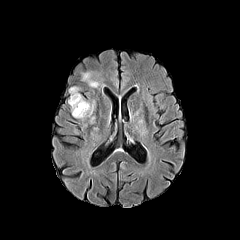
FLAIR MRI.
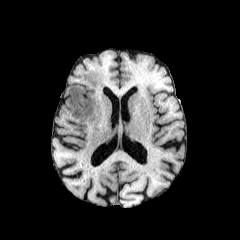
T1-weighted magnetic resonance.
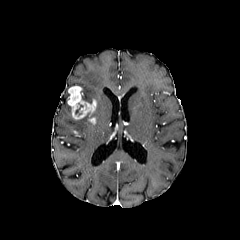
Post-contrast T1-weighted MR image.
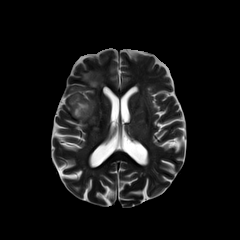
Same slice, T2-weighted MR.
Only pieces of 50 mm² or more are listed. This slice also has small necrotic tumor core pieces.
enhancing tumor: region(67, 86, 96, 124) | peritumoral edema: region(82, 72, 99, 87)